Head, Image width 240 mm, 1.00 mm slice spacing, Axial view, Slice index 41
FLAIR magnetic resonance.
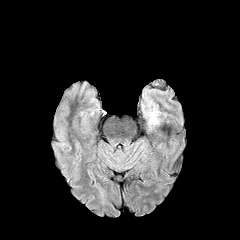
T1-weighted MR.
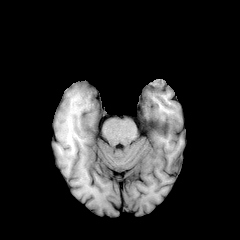
Post-contrast T1-weighted magnetic resonance.
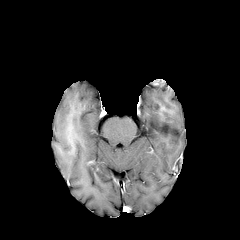
T2-weighted magnetic resonance.
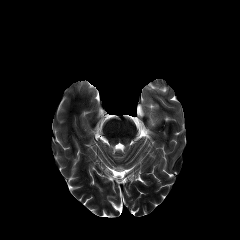
peritumoral edema: (145, 108, 158, 125)